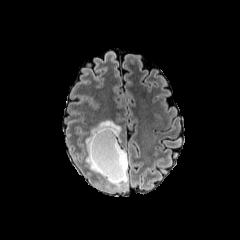
FLAIR MR image.
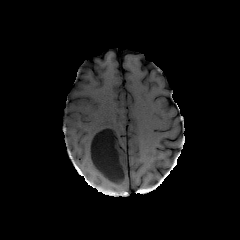
T1-weighted magnetic resonance.
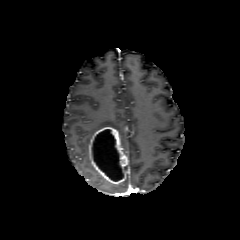
Post-contrast T1-weighted MR.
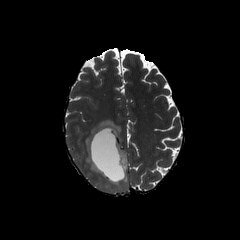
T2-weighted magnetic resonance.
Axial slice
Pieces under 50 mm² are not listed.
Segmented structures:
• necrotic tumor core: rect(92, 129, 123, 181)
• enhancing tumor: rect(89, 127, 128, 184)
• peritumoral edema: rect(85, 120, 122, 176)